FLAIR magnetic resonance.
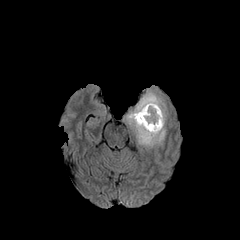
T1-weighted MR image.
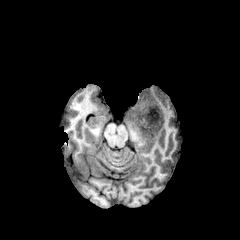
Post-contrast T1-weighted magnetic resonance.
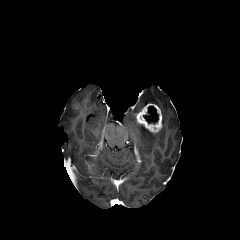
T2-weighted MR.
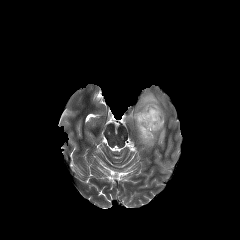
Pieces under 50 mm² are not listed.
Annotated regions:
* enhancing tumor: x1=135, y1=103, x2=162, y2=132
* peritumoral edema: x1=126, y1=90, x2=166, y2=146
* necrotic tumor core: x1=143, y1=105, x2=158, y2=124